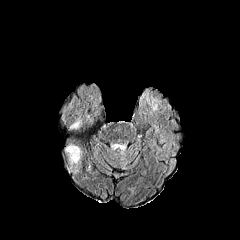
FLAIR MRI.
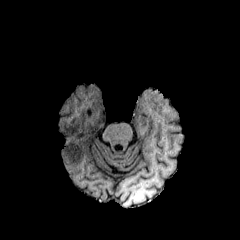
Same slice, T1-weighted MR image.
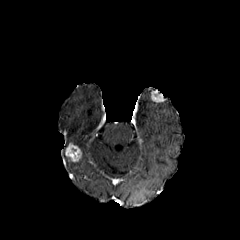
Post-contrast T1-weighted magnetic resonance.
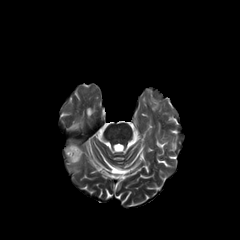
T2-weighted MR image.
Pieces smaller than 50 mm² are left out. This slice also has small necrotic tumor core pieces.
peritumoral edema — x1=69, y1=157, x2=80, y2=164
enhancing tumor — x1=65, y1=145, x2=80, y2=161